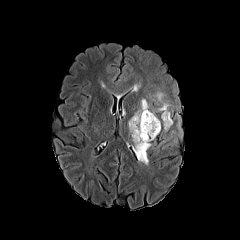
FLAIR MR.
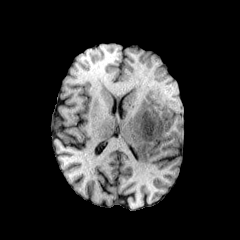
Same slice, T1-weighted magnetic resonance.
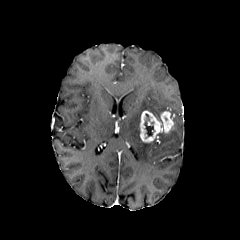
Post-contrast T1-weighted MR.
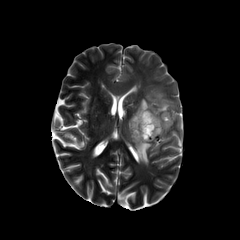
T2-weighted MR.
Head.
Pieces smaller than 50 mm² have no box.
peritumoral edema: bbox=[152, 91, 171, 114]; bbox=[128, 99, 151, 165] | enhancing tumor: bbox=[139, 110, 173, 142] | necrotic tumor core: bbox=[144, 120, 153, 136]